FLAIR MR image.
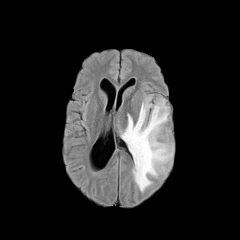
T1-weighted MRI.
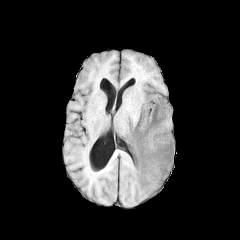
Post-contrast T1-weighted MR.
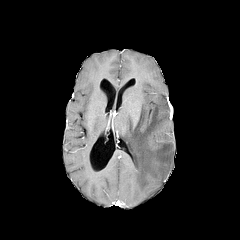
T2-weighted MR.
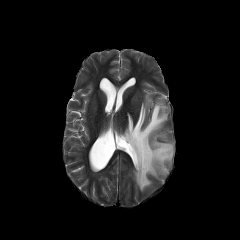
peritumoral edema: 120 96 173 191